FLAIR magnetic resonance.
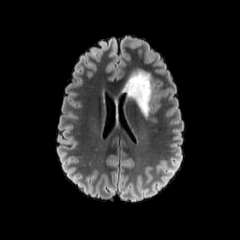
T1-weighted MR image.
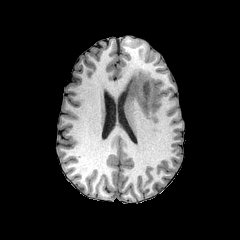
Post-contrast T1-weighted magnetic resonance.
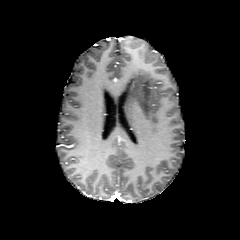
T2-weighted MR image.
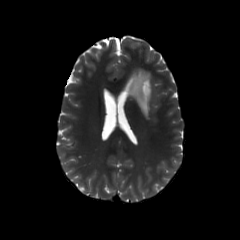
Image size 240x240; Brain
peritumoral edema — <bbox>124, 70, 152, 116</bbox>